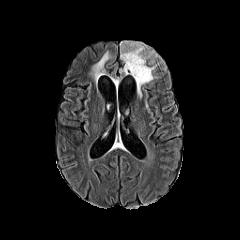
FLAIR MR image.
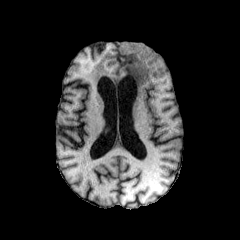
T1-weighted MRI.
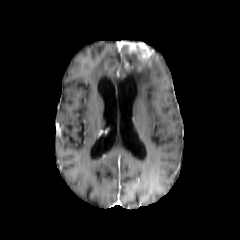
Post-contrast T1-weighted magnetic resonance.
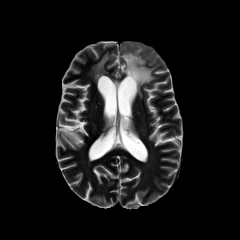
T2-weighted magnetic resonance.
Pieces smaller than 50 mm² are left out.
<segmentation>
  <peritumoral_edema>rect(92, 51, 110, 81); rect(120, 63, 159, 97)</peritumoral_edema>
  <necrotic_tumor_core>rect(128, 53, 141, 65)</necrotic_tumor_core>
  <enhancing_tumor>rect(119, 41, 157, 70)</enhancing_tumor>
</segmentation>